FLAIR MR.
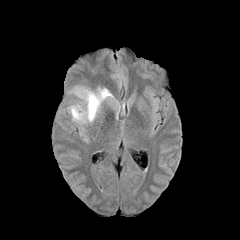
T1-weighted MR.
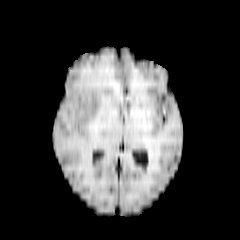
Post-contrast T1-weighted MRI.
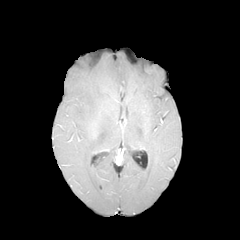
T2-weighted MRI.
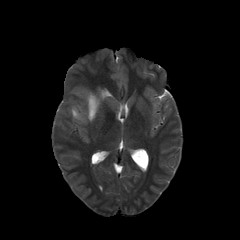
Axial plane
The peritumoral edema is located at x1=70 y1=87 x2=112 y2=122.